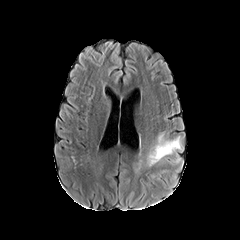
FLAIR magnetic resonance.
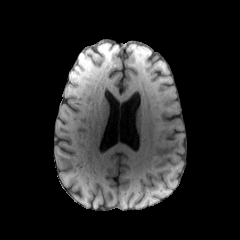
T1-weighted MRI.
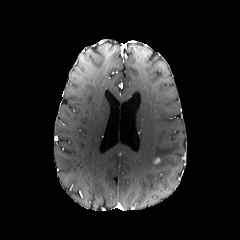
Post-contrast T1-weighted MR of the same slice.
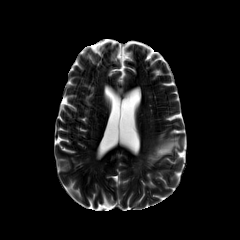
T2-weighted magnetic resonance.
Head
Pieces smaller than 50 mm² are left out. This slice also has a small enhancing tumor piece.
peritumoral edema: 146, 132, 184, 166; 171, 153, 182, 163